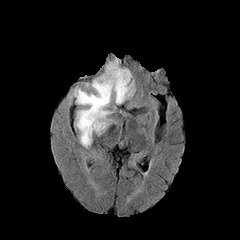
FLAIR MR image.
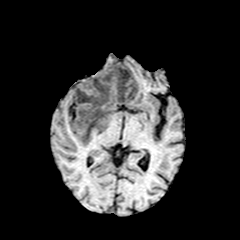
T1-weighted MR.
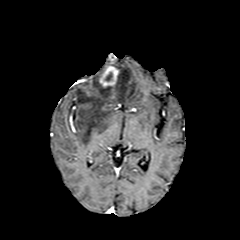
Post-contrast T1-weighted magnetic resonance.
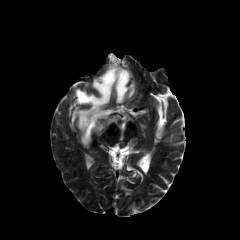
T2-weighted MR.
240x240 px
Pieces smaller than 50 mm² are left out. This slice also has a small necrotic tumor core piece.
Findings:
* enhancing tumor: [99,54,119,88]
* peritumoral edema: [74,58,134,147]